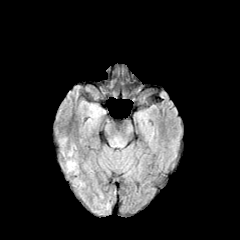
FLAIR MR.
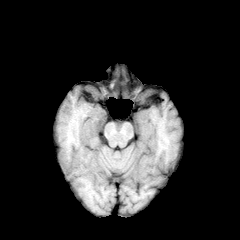
T1-weighted MR image.
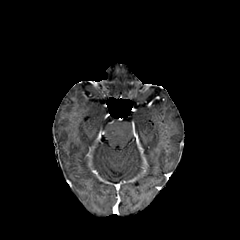
Same slice, post-contrast T1-weighted MRI.
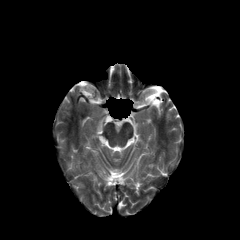
T2-weighted magnetic resonance.
240x240. Axial plane.
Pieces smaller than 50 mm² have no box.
The largest peritumoral edema region is bounded by [66, 160, 76, 171].